Brain; Slice index 119
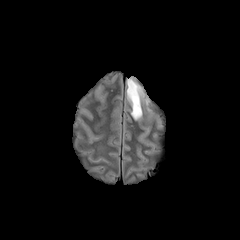
FLAIR magnetic resonance.
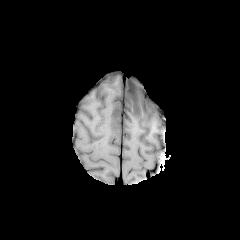
T1-weighted MR image.
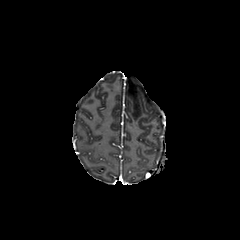
Post-contrast T1-weighted magnetic resonance.
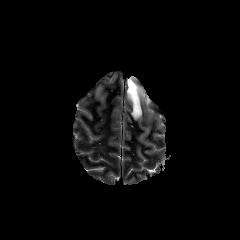
Same slice, T2-weighted MR.
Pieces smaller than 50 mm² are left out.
peritumoral edema — rect(127, 78, 143, 119)